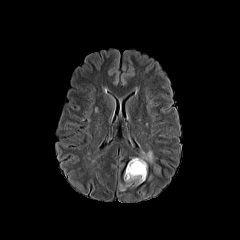
FLAIR MR image.
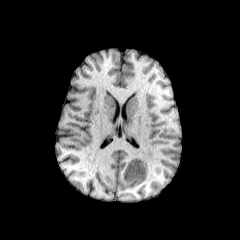
Same slice, T1-weighted MRI.
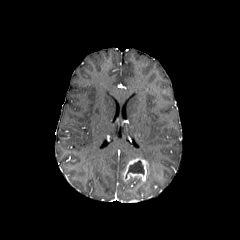
Post-contrast T1-weighted MRI.
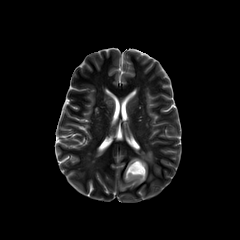
T2-weighted MR of the same slice.
Image size 240x240; Brain
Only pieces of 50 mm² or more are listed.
peritumoral edema at <box>140,150,153,162</box>, <box>119,176,141,190</box>
enhancing tumor at <box>123,157,148,182</box>
necrotic tumor core at <box>127,160,144,174</box>